240x240; Head; Slice 111 of 155
FLAIR MRI.
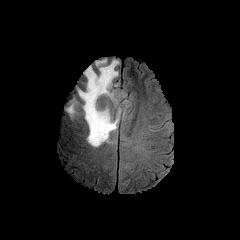
T1-weighted MR image.
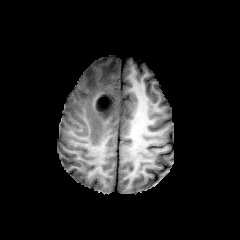
Post-contrast T1-weighted magnetic resonance.
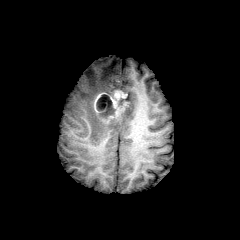
T2-weighted magnetic resonance.
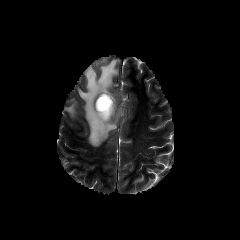
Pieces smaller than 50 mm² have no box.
Findings:
• peritumoral edema: x1=66, y1=99, x2=77, y2=116; x1=77, y1=58, x2=120, y2=146
• necrotic tumor core: x1=96, y1=94, x2=115, y2=118
• enhancing tumor: x1=94, y1=90, x2=126, y2=117